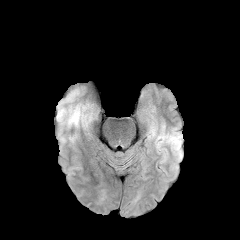
FLAIR MR.
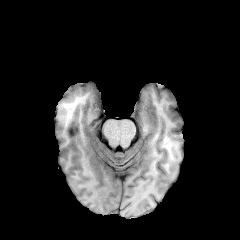
T1-weighted MRI.
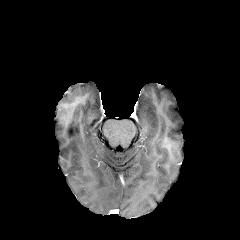
Post-contrast T1-weighted MR image.
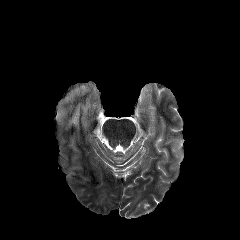
T2-weighted MRI.
240x240 px | Brain
peritumoral_edema:
  - bbox(71, 108, 79, 122)